Image size 240x240; Brain; Image width 240 mm, 1.00 mm slice spacing; Axial view
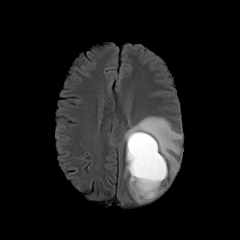
FLAIR MR.
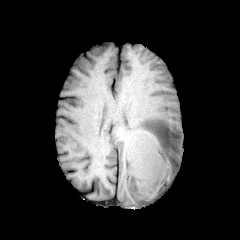
T1-weighted magnetic resonance.
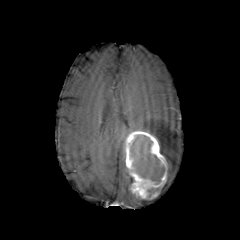
Post-contrast T1-weighted MRI of the same slice.
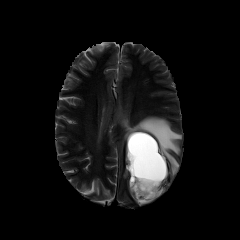
Same slice, T2-weighted MR image.
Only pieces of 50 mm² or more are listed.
The enhancing tumor is bounded by <box>125,130,167,199</box>. The largest necrotic tumor core region appears at <box>130,136,164,182</box>. The 2 largest peritumoral edema regions are located at <box>124,168,152,203</box>, <box>123,116,182,177</box>.